FLAIR MR image.
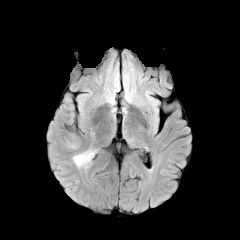
T1-weighted MR image.
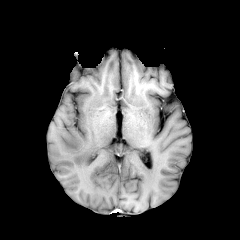
Post-contrast T1-weighted MR.
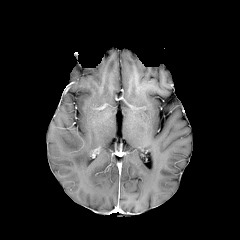
T2-weighted MR.
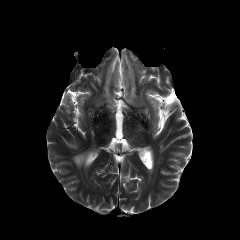
240x240
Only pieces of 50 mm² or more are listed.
peritumoral_edema:
  - region(73, 150, 96, 167)